Axial slice.
FLAIR magnetic resonance.
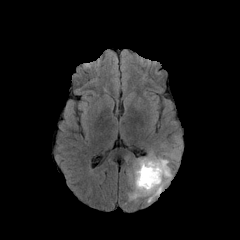
T1-weighted MR.
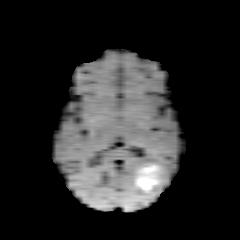
Post-contrast T1-weighted MR image.
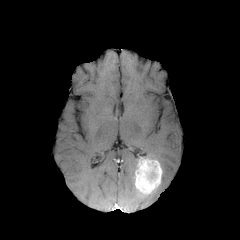
T2-weighted magnetic resonance.
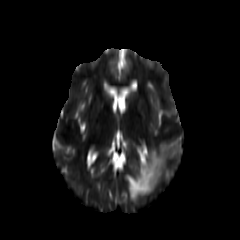
2 peritumoral edema regions are located at 145, 137, 181, 202; 128, 158, 147, 201. The enhancing tumor is at 134, 157, 162, 195.